Axial view, Slice index 106, Head
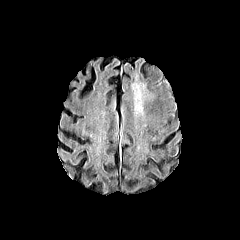
FLAIR MR.
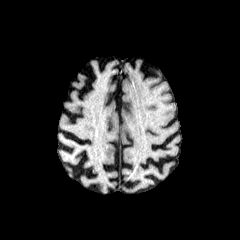
Same slice, T1-weighted MRI.
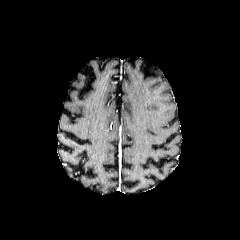
Same slice, post-contrast T1-weighted MR image.
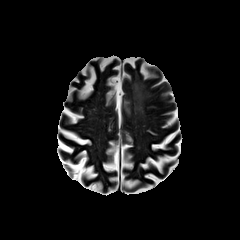
T2-weighted MRI.
<segmentation>
  <peritumoral_edema>rect(134, 85, 142, 113)</peritumoral_edema>
</segmentation>